Head.
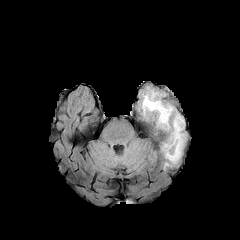
FLAIR magnetic resonance.
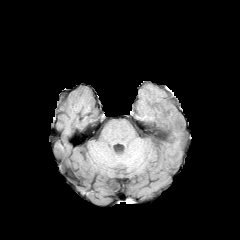
T1-weighted MRI.
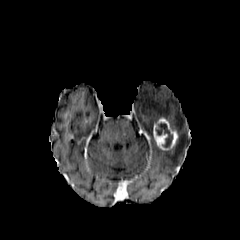
Same slice, post-contrast T1-weighted magnetic resonance.
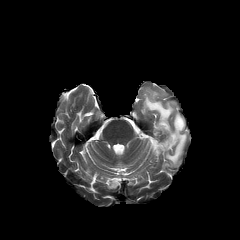
Same slice, T2-weighted MR.
Segmented structures:
- enhancing tumor: bbox(153, 117, 178, 150)
- peritumoral edema: bbox(140, 87, 186, 169)
- necrotic tumor core: bbox(156, 123, 172, 147)